Axial plane; 240x240 px; Head
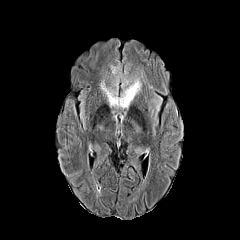
FLAIR magnetic resonance.
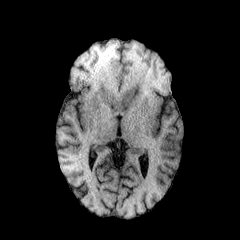
T1-weighted magnetic resonance.
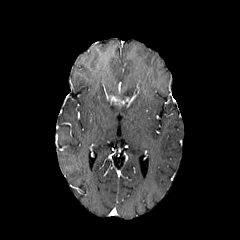
Same slice, post-contrast T1-weighted magnetic resonance.
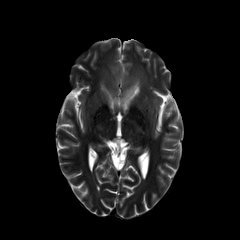
T2-weighted MR image of the same slice.
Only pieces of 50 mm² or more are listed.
<segmentation>
  <peritumoral_edema>120:78:141:99, 105:87:117:96</peritumoral_edema>
  <enhancing_tumor>107:95:135:106</enhancing_tumor>
</segmentation>